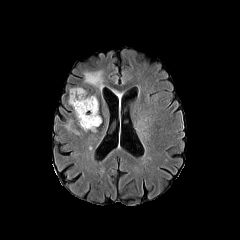
FLAIR MR.
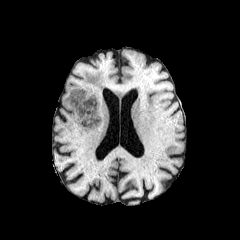
T1-weighted magnetic resonance.
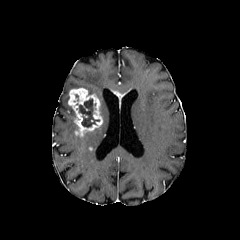
Post-contrast T1-weighted MR.
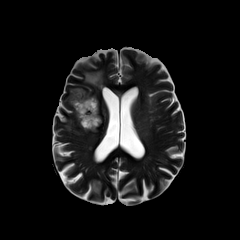
T2-weighted magnetic resonance.
Image size 240x240
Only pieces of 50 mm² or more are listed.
necrotic tumor core at bbox=[79, 99, 99, 127]
enhancing tumor at bbox=[114, 89, 130, 107]; bbox=[68, 88, 102, 135]
peritumoral edema at bbox=[84, 71, 103, 90]